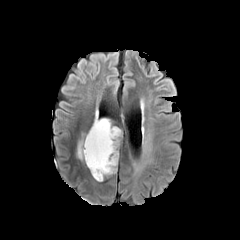
FLAIR MR image.
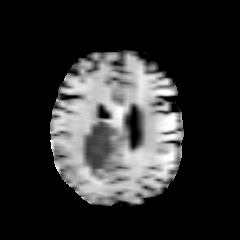
Same slice, T1-weighted magnetic resonance.
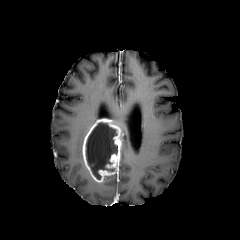
Same slice, post-contrast T1-weighted magnetic resonance.
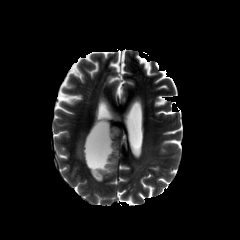
T2-weighted MR image of the same slice.
Axial plane. Head. 240x240 px.
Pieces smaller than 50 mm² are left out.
The largest peritumoral edema region lies within [77,140,83,159]. The necrotic tumor core is located at [86,122,117,179]. The enhancing tumor is located at [82,118,123,182].